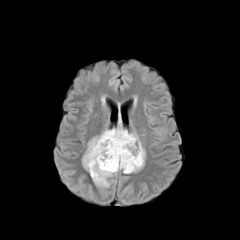
FLAIR magnetic resonance.
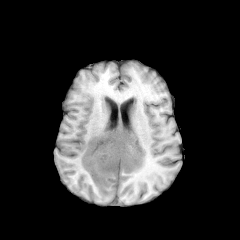
T1-weighted magnetic resonance of the same slice.
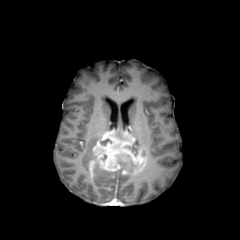
Same slice, post-contrast T1-weighted MR.
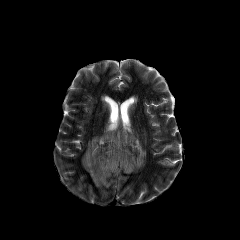
T2-weighted magnetic resonance.
Head. Axial view.
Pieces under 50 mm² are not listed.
enhancing tumor at (89,130,145,177)
necrotic tumor core at (118,160,127,169), (127,141,139,155), (128,161,137,172)
peritumoral edema at (82,118,127,172), (92,163,117,187)